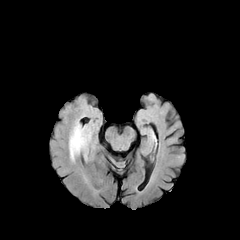
FLAIR MR image.
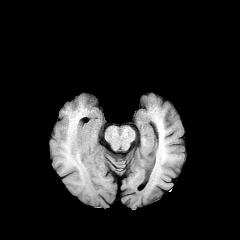
T1-weighted MR.
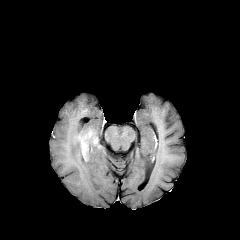
Post-contrast T1-weighted MRI.
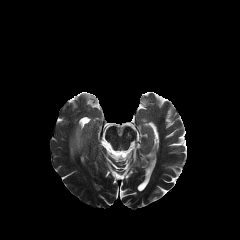
T2-weighted MR of the same slice.
Head, Axial slice
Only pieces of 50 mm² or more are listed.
The largest enhancing tumor region is at bbox(78, 131, 91, 141). The largest peritumoral edema region appears at bbox(70, 123, 93, 158).